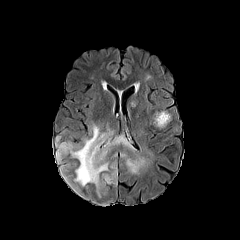
FLAIR MR image.
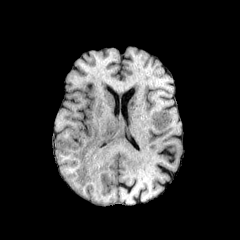
Same slice, T1-weighted magnetic resonance.
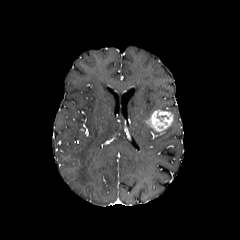
Same slice, post-contrast T1-weighted MR.
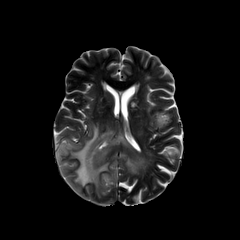
Same slice, T2-weighted MRI.
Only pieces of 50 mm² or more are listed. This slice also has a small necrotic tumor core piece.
Findings:
• peritumoral edema: bbox(126, 157, 146, 173); bbox(104, 170, 117, 183); bbox(54, 134, 61, 146); bbox(56, 124, 133, 193)
• enhancing tumor: bbox(146, 110, 172, 131)